240x240 px | Slice 54 of 155 | Axial slice
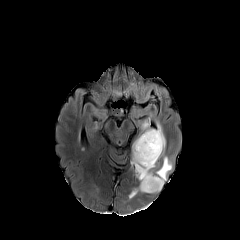
FLAIR MR.
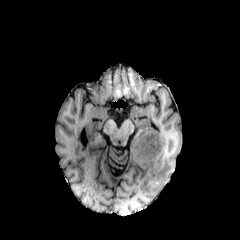
Same slice, T1-weighted magnetic resonance.
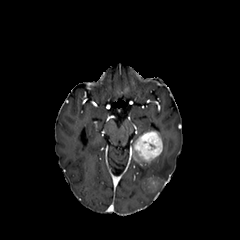
Same slice, post-contrast T1-weighted MR image.
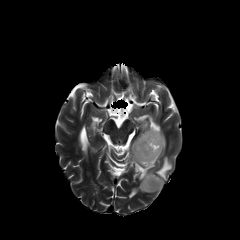
T2-weighted MR image.
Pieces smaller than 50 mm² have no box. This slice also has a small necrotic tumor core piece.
2 enhancing tumor regions are bounded by <bbox>133, 130, 162, 165</bbox>, <bbox>144, 176, 160, 191</bbox>. 2 peritumoral edema regions are located at <bbox>142, 122, 165, 154</bbox>, <bbox>132, 155, 172, 192</bbox>.